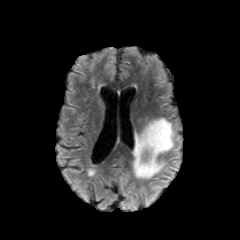
FLAIR MRI.
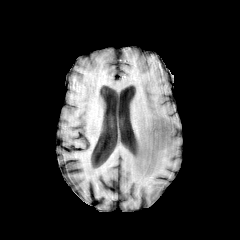
T1-weighted magnetic resonance.
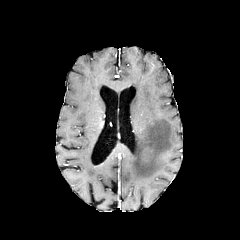
Post-contrast T1-weighted MRI of the same slice.
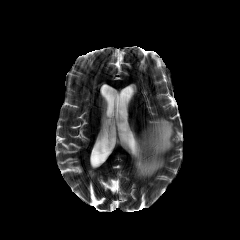
T2-weighted MR image.
Brain, Axial view
peritumoral edema at <bbox>133, 118, 173, 178</bbox>